Head; Axial plane
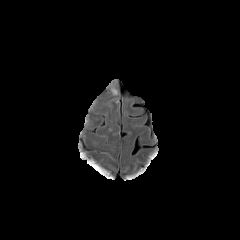
FLAIR MR.
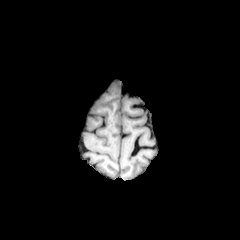
Same slice, T1-weighted MR.
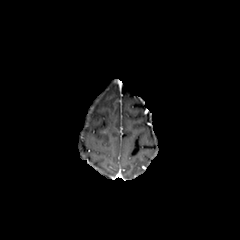
Post-contrast T1-weighted MR image of the same slice.
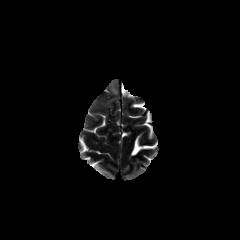
T2-weighted MR of the same slice.
The peritumoral edema is located at box=[109, 82, 119, 102].